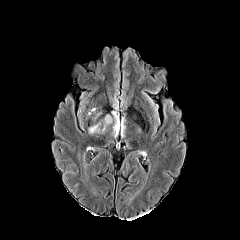
FLAIR MRI.
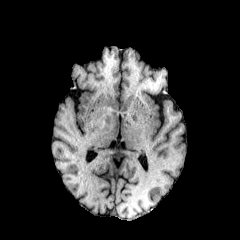
Same slice, T1-weighted magnetic resonance.
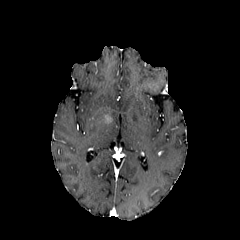
Post-contrast T1-weighted magnetic resonance.
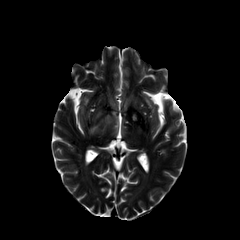
Same slice, T2-weighted MR image.
Axial view, Brain
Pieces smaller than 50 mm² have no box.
{
  "peritumoral_edema": [
    {"x1": 88, "y1": 99, "x2": 119, "y2": 137},
    {"x1": 121, "y1": 117, "x2": 125, "y2": 136}
  ],
  "enhancing_tumor": [
    {"x1": 105, "y1": 115, "x2": 111, "y2": 123}
  ]
}